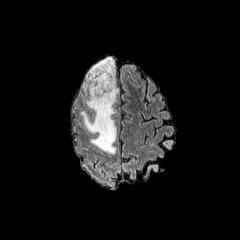
FLAIR magnetic resonance.
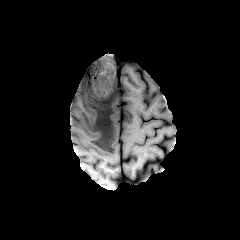
T1-weighted MR.
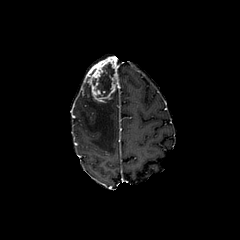
Post-contrast T1-weighted MRI.
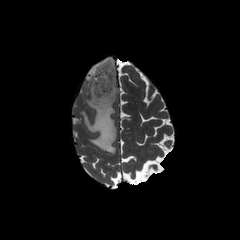
Same slice, T2-weighted MR.
240x240 px. Head.
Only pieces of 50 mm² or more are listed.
Segmented structures:
- necrotic tumor core: 96:62:114:96
- enhancing tumor: 85:57:117:103
- peritumoral edema: 80:83:118:153